Head; Slice 53/155; 240x240
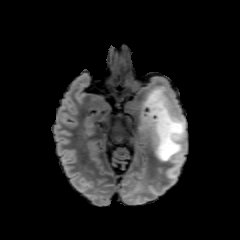
FLAIR magnetic resonance.
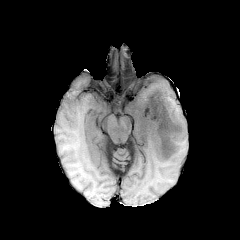
T1-weighted magnetic resonance.
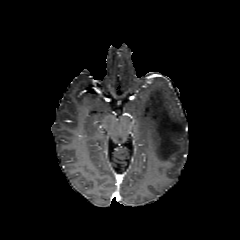
Post-contrast T1-weighted MR image of the same slice.
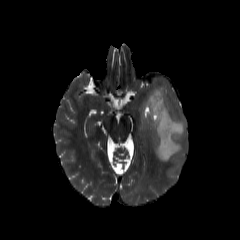
T2-weighted magnetic resonance.
peritumoral edema: (left=139, top=86, right=186, bottom=161)